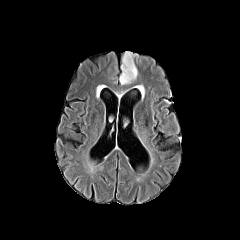
FLAIR MRI.
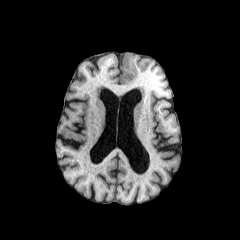
T1-weighted MRI of the same slice.
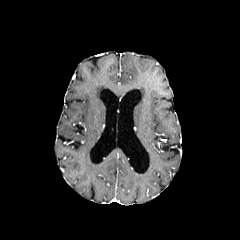
Post-contrast T1-weighted MR.
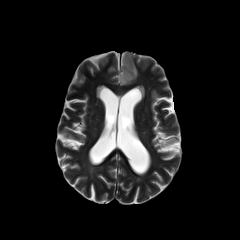
Same slice, T2-weighted MR image.
Image size 240x240. Brain.
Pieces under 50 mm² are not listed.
peritumoral edema: box=[136, 85, 144, 97]; box=[119, 51, 137, 85]